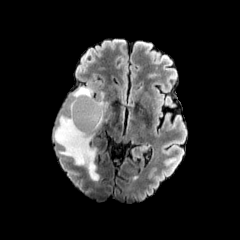
FLAIR magnetic resonance.
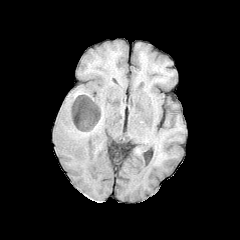
Same slice, T1-weighted MRI.
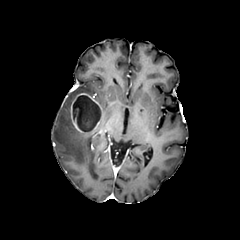
Post-contrast T1-weighted magnetic resonance.
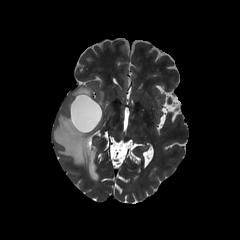
Same slice, T2-weighted MR.
Image size 240x240; Brain
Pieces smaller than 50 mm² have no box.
enhancing tumor: <bbox>70, 93, 103, 133</bbox>
peritumoral edema: <bbox>98, 92, 107, 113</bbox>, <bbox>54, 86, 99, 180</bbox>
necrotic tumor core: <bbox>73, 95, 100, 131</bbox>